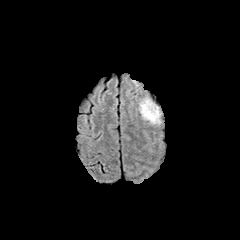
FLAIR magnetic resonance.
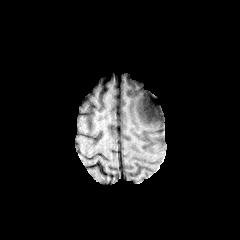
T1-weighted MRI.
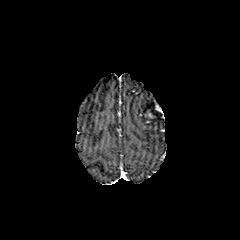
Post-contrast T1-weighted magnetic resonance of the same slice.
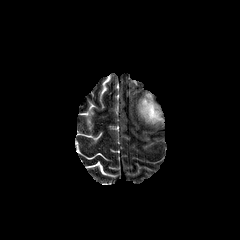
T2-weighted MRI.
Brain
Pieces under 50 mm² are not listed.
<segmentation>
  <peritumoral_edema>bbox(140, 98, 160, 123)</peritumoral_edema>
  <enhancing_tumor>bbox(144, 109, 155, 119)</enhancing_tumor>
</segmentation>